240x240 px; Slice index 112; Axial view; Brain
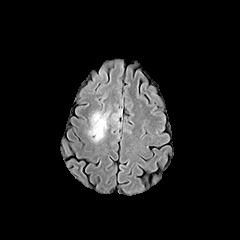
FLAIR MR.
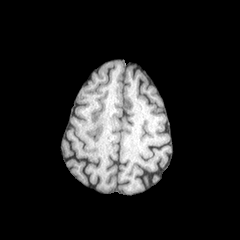
Same slice, T1-weighted MR.
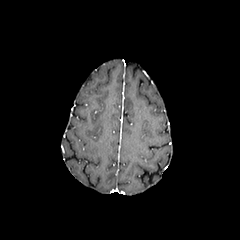
Post-contrast T1-weighted MR.
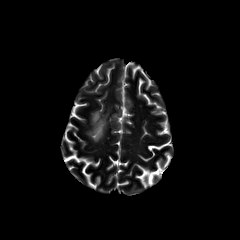
T2-weighted MR.
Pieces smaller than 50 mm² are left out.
The largest peritumoral edema region appears at x1=88 y1=111 x2=109 y2=142.